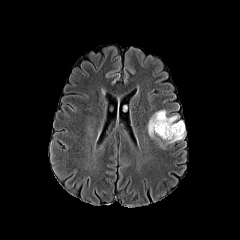
FLAIR MRI.
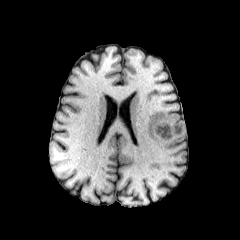
T1-weighted MRI of the same slice.
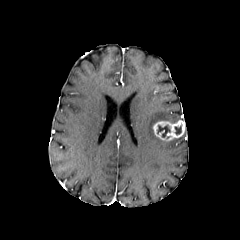
Same slice, post-contrast T1-weighted MRI.
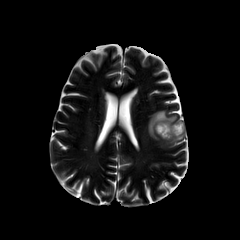
T2-weighted MR image.
Brain, Axial plane
• necrotic tumor core: (x1=175, y1=125, x2=181, y2=134), (x1=157, y1=125, x2=170, y2=137)
• enhancing tumor: (x1=153, y1=120, x2=185, y2=141)
• peritumoral edema: (x1=148, y1=110, x2=185, y2=147)